Image width 240 mm, 1.00 mm slice spacing | Brain
FLAIR MR.
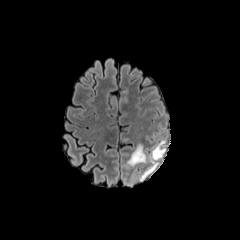
T1-weighted magnetic resonance.
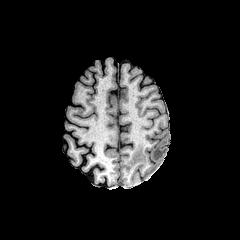
Post-contrast T1-weighted MR.
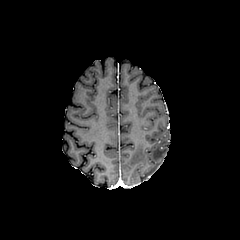
T2-weighted MR.
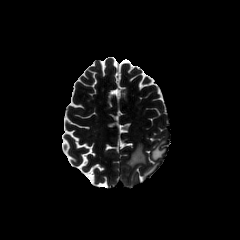
peritumoral_edema:
  - region(151, 140, 165, 159)
  - region(127, 144, 145, 166)
  - region(141, 163, 158, 179)